Slice 56/155
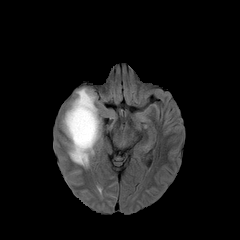
FLAIR MR image.
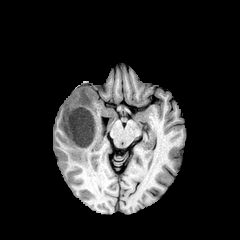
T1-weighted MR image.
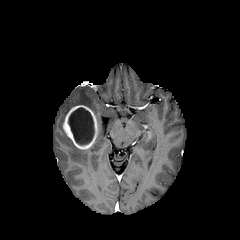
Post-contrast T1-weighted MR of the same slice.
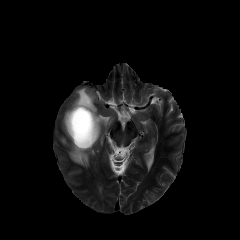
T2-weighted MR image.
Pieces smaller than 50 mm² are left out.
The largest peritumoral edema region is at bbox=[68, 88, 101, 167]. The necrotic tumor core lies within bbox=[68, 107, 94, 144]. The enhancing tumor appears at bbox=[62, 105, 98, 149].